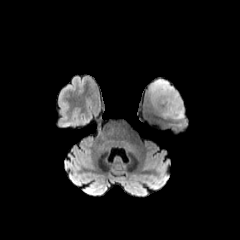
FLAIR MR.
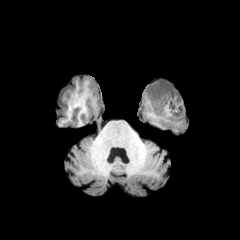
T1-weighted MR image.
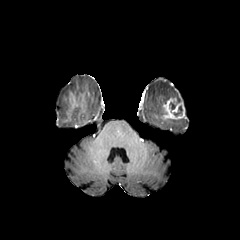
Post-contrast T1-weighted MR.
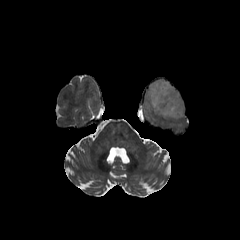
T2-weighted MR.
Head
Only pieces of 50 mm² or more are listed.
Annotated regions:
• enhancing tumor: 161:97:184:119
• peritumoral edema: 148:79:181:116
• necrotic tumor core: 174:105:182:116